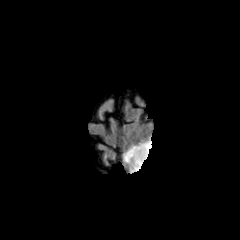
FLAIR MR.
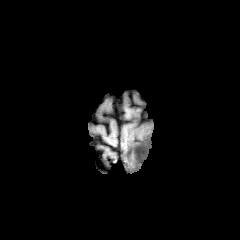
T1-weighted MR image.
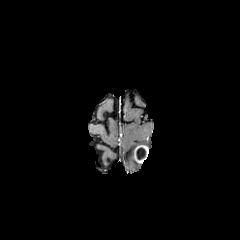
Post-contrast T1-weighted MR.
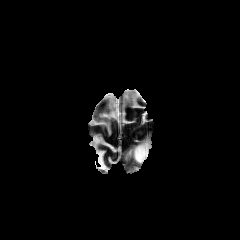
Same slice, T2-weighted MR.
Head | Axial plane
<segmentation>
  <necrotic_tumor_core><bbox>136, 148, 145, 159</bbox></necrotic_tumor_core>
  <peritumoral_edema><bbox>138, 138, 151, 148</bbox>, <bbox>124, 145, 141, 172</bbox></peritumoral_edema>
  <enhancing_tumor><bbox>133, 144, 148, 163</bbox></enhancing_tumor>
</segmentation>